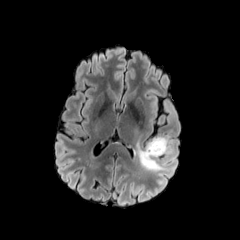
FLAIR magnetic resonance.
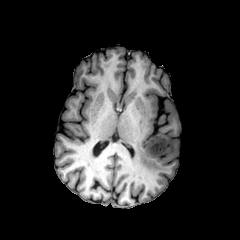
T1-weighted MR image.
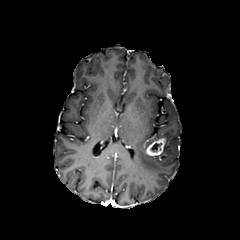
Same slice, post-contrast T1-weighted MRI.
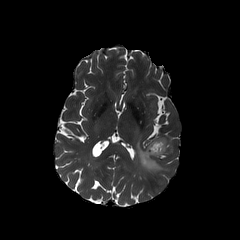
T2-weighted MRI.
240x240 px. Brain.
enhancing_tumor:
  - [x1=145, y1=138, x2=165, y2=155]
necrotic_tumor_core:
  - [x1=149, y1=142, x2=161, y2=152]
peritumoral_edema:
  - [x1=135, y1=136, x2=170, y2=171]